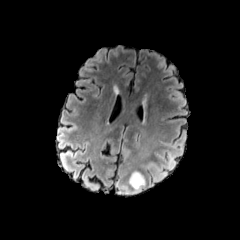
FLAIR MR image.
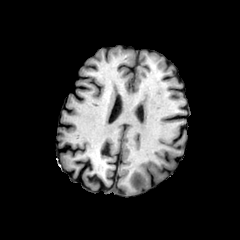
T1-weighted MRI.
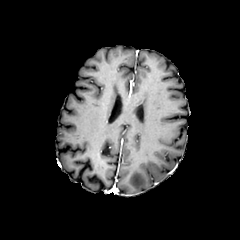
Same slice, post-contrast T1-weighted MR image.
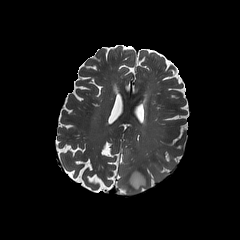
Same slice, T2-weighted MRI.
peritumoral edema: bounding box [129,171,145,192]